FLAIR MR.
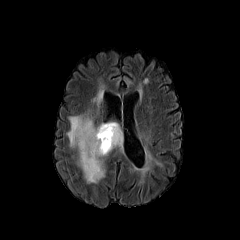
T1-weighted MR image.
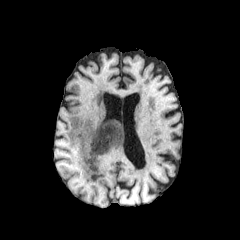
Post-contrast T1-weighted MR image.
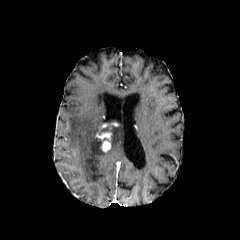
T2-weighted MRI.
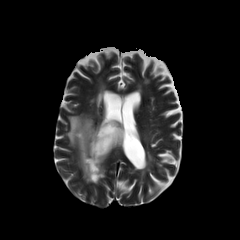
Axial view, Head
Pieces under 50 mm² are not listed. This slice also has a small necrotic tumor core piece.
<segmentation>
  <peritumoral_edema>box=[67, 116, 122, 182]; box=[94, 93, 103, 106]</peritumoral_edema>
  <enhancing_tumor>box=[96, 122, 117, 151]</enhancing_tumor>
</segmentation>